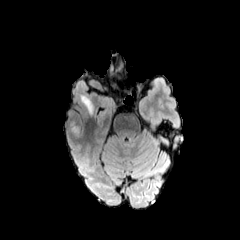
FLAIR MR.
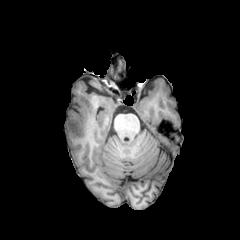
Same slice, T1-weighted MR image.
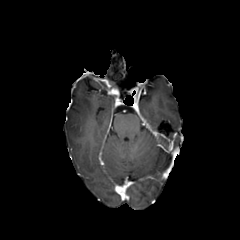
Post-contrast T1-weighted MR image of the same slice.
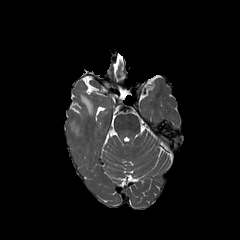
T2-weighted MR image.
240x240 px. Axial plane. Head.
2 peritumoral edema regions are bounded by [x1=68, y1=122, x2=78, y2=134], [x1=80, y1=94, x2=93, y2=114].